FLAIR MR.
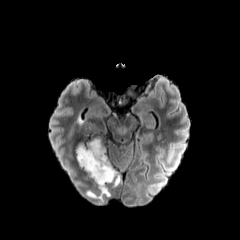
T1-weighted MR image.
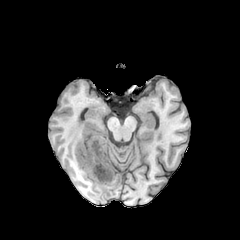
Post-contrast T1-weighted magnetic resonance.
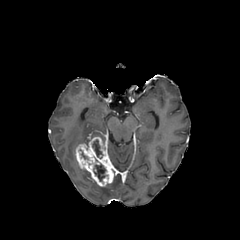
T2-weighted MR.
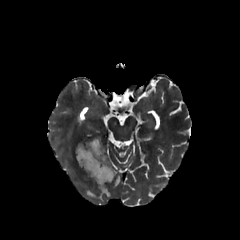
Image size 240x240
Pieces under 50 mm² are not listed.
{
  "necrotic_tumor_core": [
    "l=92, t=139, r=102, b=157",
    "l=94, t=163, r=105, b=181"
  ],
  "peritumoral_edema": [
    "l=111, t=174, r=120, b=186",
    "l=87, t=185, r=110, b=199"
  ],
  "enhancing_tumor": [
    "l=75, t=136, r=118, b=186"
  ]
}